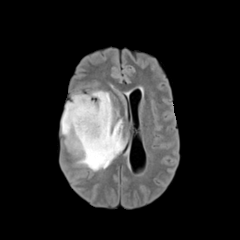
FLAIR MRI.
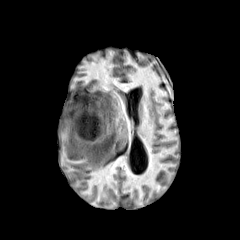
T1-weighted MR.
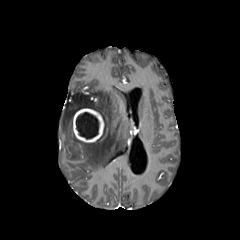
Post-contrast T1-weighted MR image.
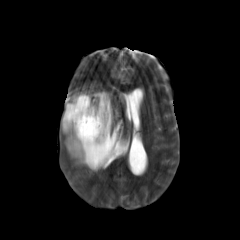
Same slice, T2-weighted magnetic resonance.
peritumoral edema: bounding box [x1=61, y1=91, x2=125, y2=171]
necrotic tumor core: bounding box [x1=76, y1=112, x2=99, y2=139]
enhancing tumor: bounding box [x1=73, y1=108, x2=104, y2=142]